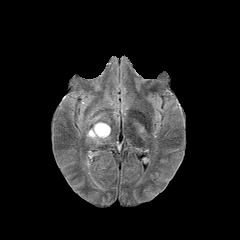
FLAIR magnetic resonance.
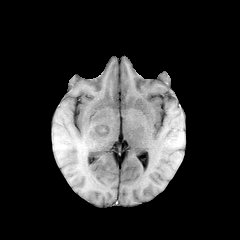
Same slice, T1-weighted MR image.
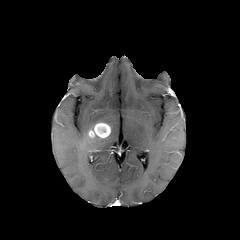
Same slice, post-contrast T1-weighted MR.
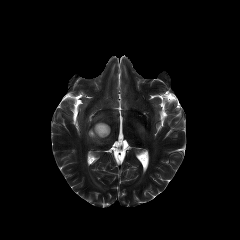
Same slice, T2-weighted magnetic resonance.
Head | Image size 240x240
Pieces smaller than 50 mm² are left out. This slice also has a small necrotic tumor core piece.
<segmentation>
  <enhancing_tumor>(left=88, top=123, right=110, bottom=138)</enhancing_tumor>
  <peritumoral_edema>(left=87, top=131, right=108, bottom=143)</peritumoral_edema>
</segmentation>